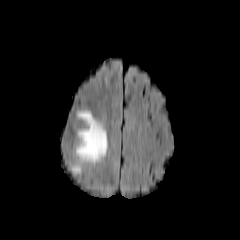
FLAIR MR.
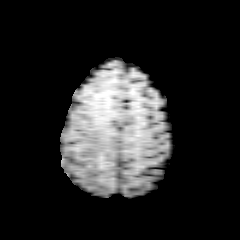
Same slice, T1-weighted MR image.
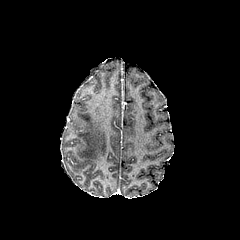
Post-contrast T1-weighted magnetic resonance.
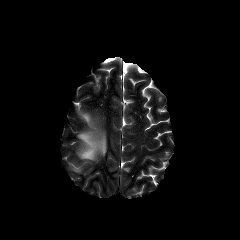
Same slice, T2-weighted magnetic resonance.
240x240 | Axial plane | Brain
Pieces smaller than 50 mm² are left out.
The largest peritumoral edema region is bounded by 76, 111, 107, 162.